Image width 240 mm. Axial slice. Slice index 115. 240x240 px.
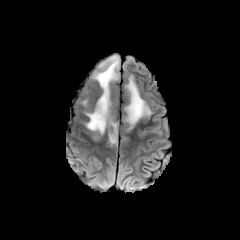
FLAIR MR.
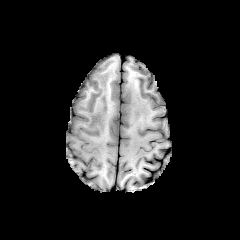
T1-weighted MRI.
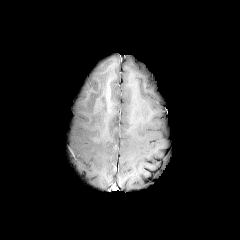
Same slice, post-contrast T1-weighted magnetic resonance.
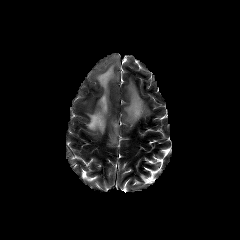
T2-weighted MR image.
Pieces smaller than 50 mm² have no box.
{
  "peritumoral_edema": [
    "82 55 118 144",
    "124 73 154 132"
  ]
}